FLAIR MR.
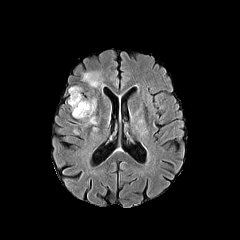
T1-weighted magnetic resonance.
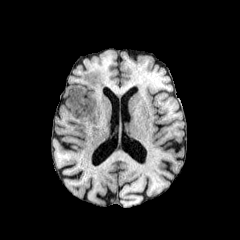
Post-contrast T1-weighted MR image.
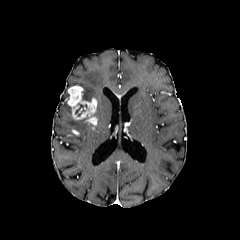
T2-weighted magnetic resonance.
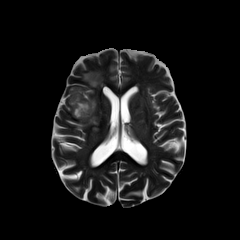
Axial plane, Brain
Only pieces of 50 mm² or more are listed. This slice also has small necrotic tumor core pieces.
enhancing tumor — 67:86:97:125
peritumoral edema — 83:72:103:87